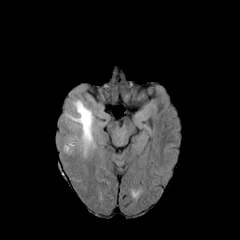
FLAIR magnetic resonance.
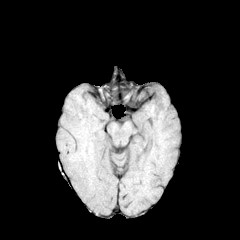
Same slice, T1-weighted MR image.
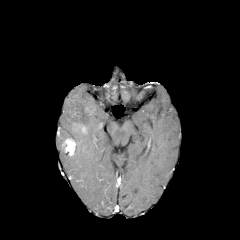
Same slice, post-contrast T1-weighted magnetic resonance.
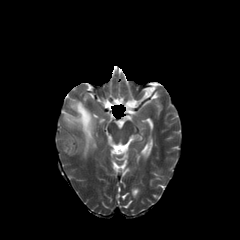
T2-weighted MR image.
Axial plane
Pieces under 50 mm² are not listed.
<segmentation>
  <enhancing_tumor>64:139:75:155</enhancing_tumor>
  <peritumoral_edema>64:100:95:156</peritumoral_edema>
</segmentation>